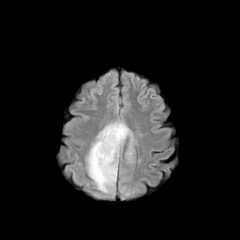
FLAIR MR image.
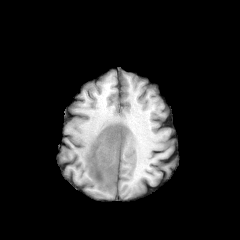
T1-weighted magnetic resonance of the same slice.
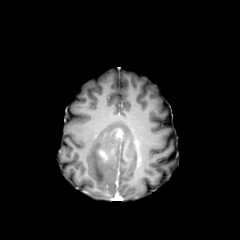
Same slice, post-contrast T1-weighted magnetic resonance.
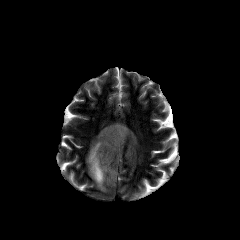
T2-weighted MR.
Axial plane
The peritumoral edema appears at 86, 121, 135, 193. 2 enhancing tumor regions are located at 116, 129, 122, 138; 99, 150, 107, 160.